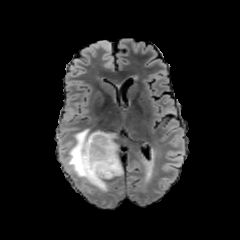
FLAIR MR image.
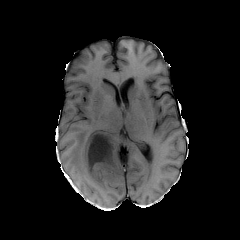
Same slice, T1-weighted MR.
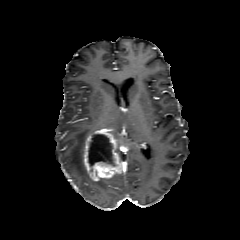
Post-contrast T1-weighted MR image.
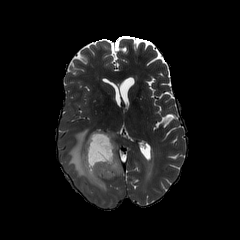
T2-weighted MRI.
Axial view
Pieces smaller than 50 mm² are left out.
enhancing tumor: bounding box x1=83, y1=128, x2=123, y2=181
peritumoral edema: bounding box x1=66, y1=129, x2=107, y2=190
necrotic tumor core: bounding box x1=88, y1=134, x2=114, y2=166